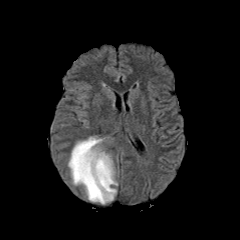
FLAIR magnetic resonance.
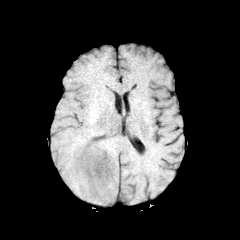
T1-weighted MR.
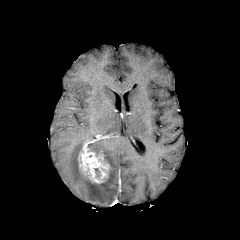
Same slice, post-contrast T1-weighted MRI.
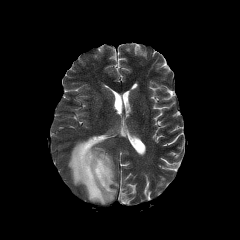
T2-weighted MR.
Axial slice.
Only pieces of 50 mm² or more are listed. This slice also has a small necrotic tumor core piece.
The enhancing tumor lies within (78,139,110,183). The peritumoral edema is bounded by (68,136,117,204).